FLAIR MR image.
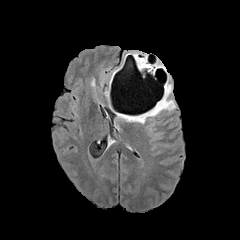
T1-weighted MR.
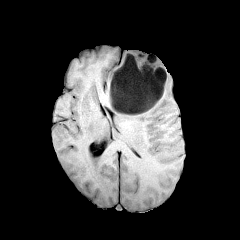
Post-contrast T1-weighted magnetic resonance.
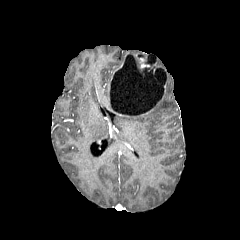
T2-weighted MRI.
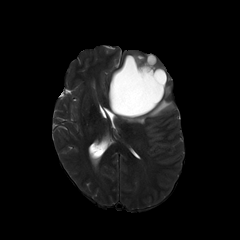
Axial slice.
peritumoral edema: bounding box box(124, 85, 174, 123)
necrotic tumor core: bounding box box(109, 54, 167, 114)
enhancing tumor: bounding box box(116, 107, 154, 116); box(111, 63, 123, 77)